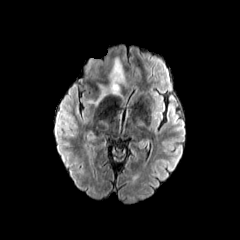
FLAIR magnetic resonance.
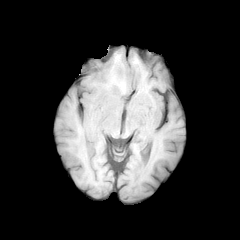
T1-weighted MRI.
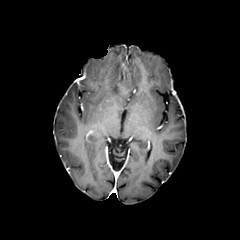
Post-contrast T1-weighted MR.
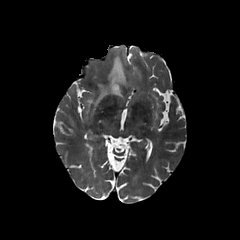
T2-weighted magnetic resonance of the same slice.
240x240 | Brain | Axial plane
peritumoral edema: bounding box x1=88 y1=57 x2=126 y2=105